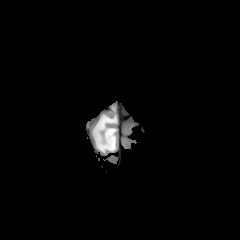
FLAIR MR.
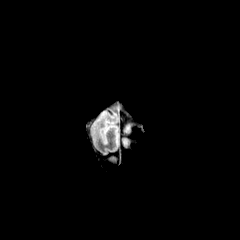
T1-weighted magnetic resonance of the same slice.
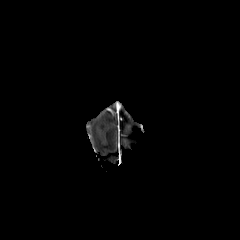
Post-contrast T1-weighted magnetic resonance.
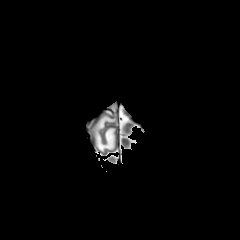
T2-weighted MR of the same slice.
Axial plane, Head
peritumoral edema: region(93, 106, 116, 153)